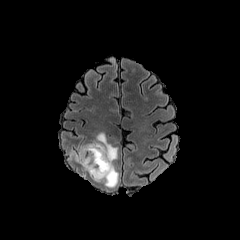
FLAIR MR.
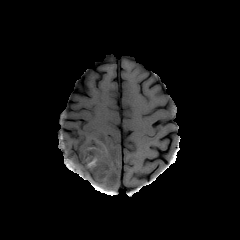
T1-weighted MR of the same slice.
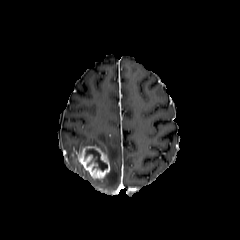
Same slice, post-contrast T1-weighted MRI.
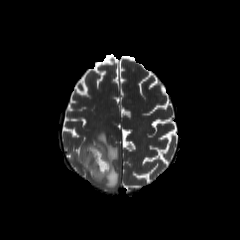
T2-weighted magnetic resonance.
Head
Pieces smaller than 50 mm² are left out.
enhancing tumor: l=76, t=146, r=110, b=179 | necrotic tumor core: l=85, t=148, r=107, b=170 | peritumoral edema: l=69, t=132, r=119, b=187